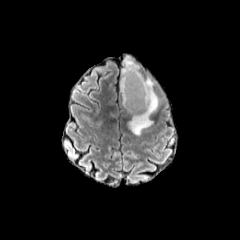
FLAIR MRI.
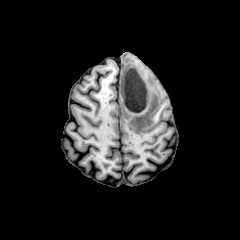
T1-weighted MR image.
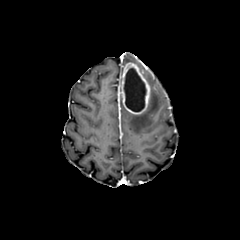
Same slice, post-contrast T1-weighted MR image.
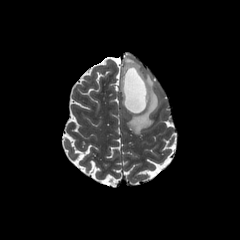
T2-weighted MRI.
Head.
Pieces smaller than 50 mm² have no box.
enhancing tumor: bounding box 120:62:150:114
necrotic tumor core: bounding box 124:68:146:111
peritumoral edema: bounding box 122:75:158:135, 123:56:136:65